Head; 240x240 px
FLAIR MRI.
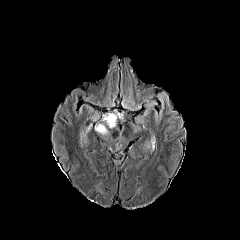
T1-weighted MRI.
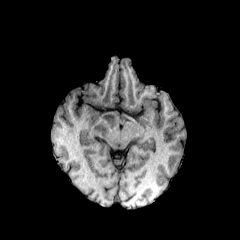
Post-contrast T1-weighted magnetic resonance.
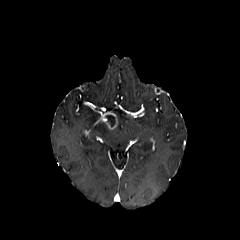
T2-weighted magnetic resonance.
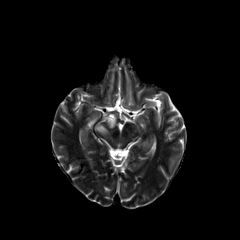
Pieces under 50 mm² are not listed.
* peritumoral edema: (x1=95, y1=123, x2=108, y2=134)
* enhancing tumor: (x1=101, y1=112, x2=117, y2=129)
* necrotic tumor core: (x1=106, y1=115, x2=115, y2=126)